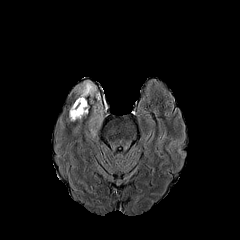
FLAIR MR.
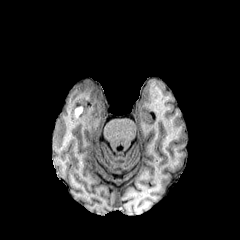
Same slice, T1-weighted MRI.
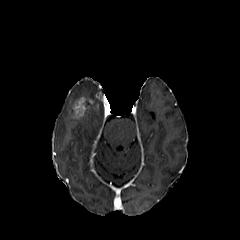
Same slice, post-contrast T1-weighted MR image.
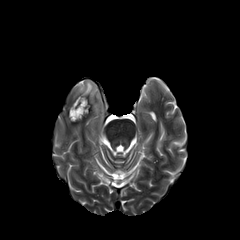
T2-weighted MRI.
Axial view, 240x240
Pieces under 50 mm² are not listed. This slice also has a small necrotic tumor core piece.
Segmented structures:
- peritumoral edema: region(69, 104, 82, 121); region(75, 80, 98, 99); region(90, 99, 103, 121)
- enhancing tumor: region(73, 97, 93, 118)